Head
FLAIR MRI.
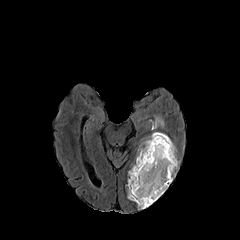
T1-weighted MR image.
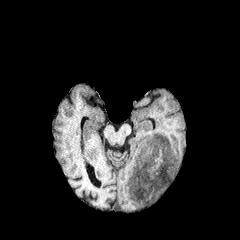
Post-contrast T1-weighted MRI.
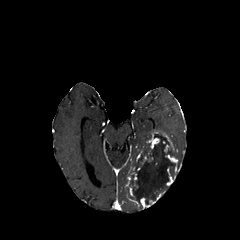
T2-weighted MR image.
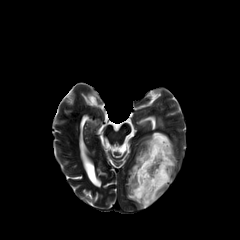
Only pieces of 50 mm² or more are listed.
necrotic_tumor_core:
  - <bbox>127, 134, 175, 208</bbox>
peritumoral_edema:
  - <bbox>138, 136, 150, 153</bbox>
  - <bbox>151, 116, 164, 130</bbox>
enhancing_tumor:
  - <bbox>166, 167, 173, 185</bbox>
  - <bbox>146, 131, 174, 153</bbox>
  - <bbox>165, 154, 178, 173</bbox>
  - <bbox>140, 190, 165, 209</bbox>
  - <bbox>125, 176, 133, 196</bbox>